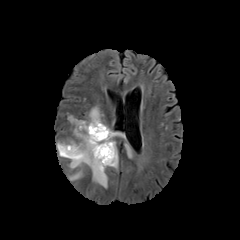
FLAIR MR.
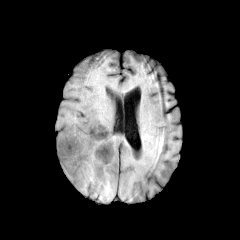
T1-weighted MRI.
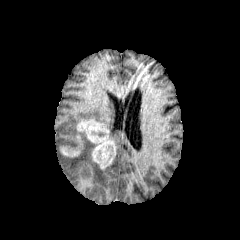
Post-contrast T1-weighted MRI.
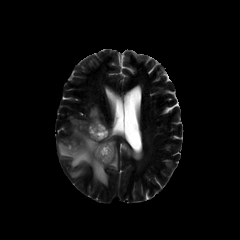
T2-weighted MR image of the same slice.
Brain, 240x240 px, Axial slice
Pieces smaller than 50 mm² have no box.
• enhancing tumor: box(77, 119, 115, 169); box(60, 143, 82, 157)
• peritumoral edema: box(107, 147, 118, 169); box(56, 116, 107, 187); box(104, 124, 121, 145); box(89, 107, 103, 123)